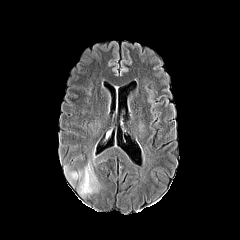
FLAIR MR image.
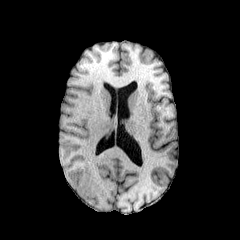
T1-weighted magnetic resonance.
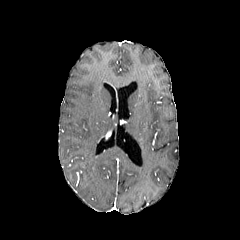
Post-contrast T1-weighted MR image.
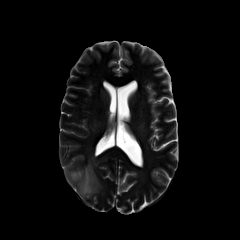
Same slice, T2-weighted MR.
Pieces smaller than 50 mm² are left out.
Segmented structures:
* peritumoral edema: region(64, 168, 77, 179); region(78, 162, 99, 196)